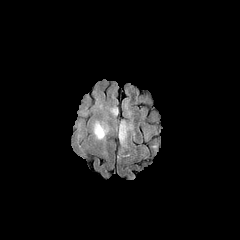
FLAIR MR image.
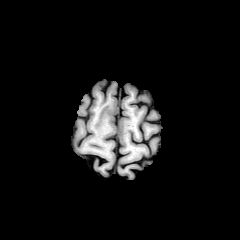
T1-weighted magnetic resonance.
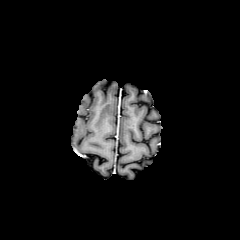
Post-contrast T1-weighted MRI.
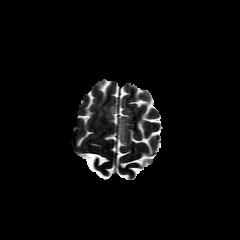
T2-weighted magnetic resonance.
Axial slice
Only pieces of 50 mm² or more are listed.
Annotated regions:
- peritumoral edema: (121,122,125,139), (96,126,103,137)